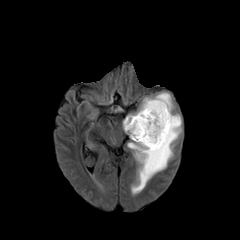
FLAIR MR image.
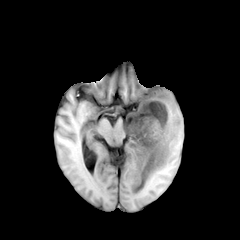
Same slice, T1-weighted MR image.
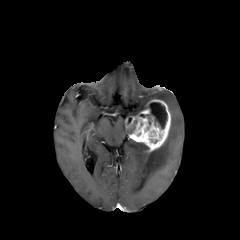
Post-contrast T1-weighted MR of the same slice.
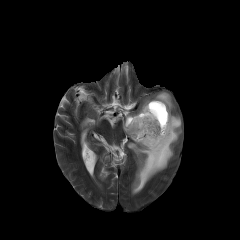
Same slice, T2-weighted magnetic resonance.
Axial slice
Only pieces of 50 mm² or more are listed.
{
  "peritumoral_edema": [
    "rect(127, 92, 181, 193)"
  ],
  "enhancing_tumor": [
    "rect(124, 99, 171, 152)"
  ],
  "necrotic_tumor_core": [
    "rect(149, 102, 167, 128)"
  ]
}